FLAIR magnetic resonance.
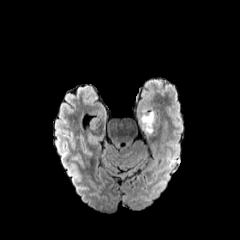
T1-weighted MR image.
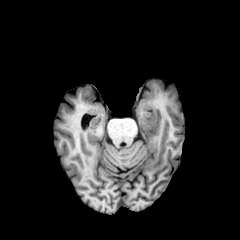
Post-contrast T1-weighted magnetic resonance.
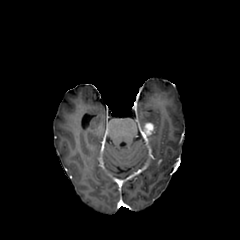
T2-weighted MR.
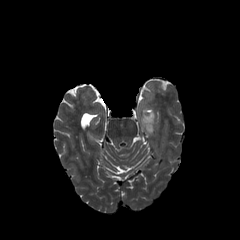
Head
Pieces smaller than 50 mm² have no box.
enhancing tumor: bounding box left=142, top=123, right=153, bottom=139
peritumoral edema: bounding box left=139, top=112, right=155, bottom=130